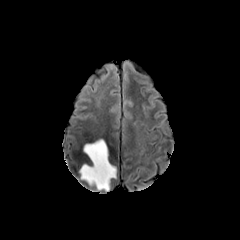
FLAIR MRI.
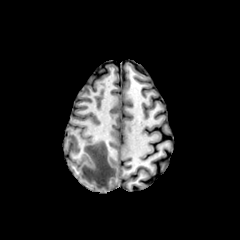
T1-weighted MR.
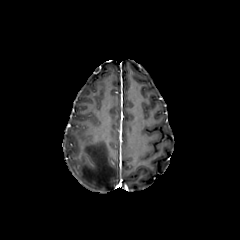
Post-contrast T1-weighted MR.
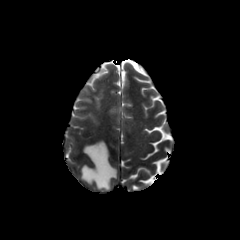
T2-weighted MR.
240x240 px. Head. Axial view.
peritumoral edema = left=80, top=140, right=116, bottom=191